Brain. Axial slice.
FLAIR MRI.
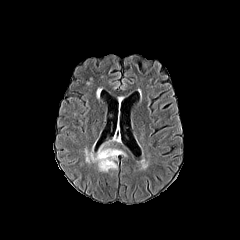
T1-weighted MRI.
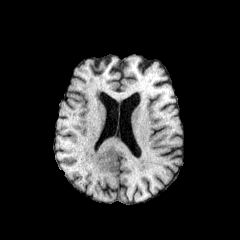
Post-contrast T1-weighted MRI.
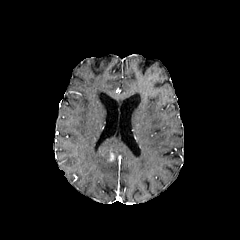
T2-weighted MR.
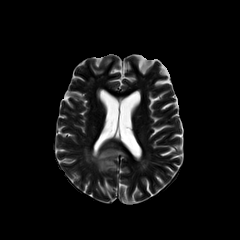
The peritumoral edema is located at rect(85, 142, 127, 171). The enhancing tumor is at rect(109, 149, 114, 161).